FLAIR magnetic resonance.
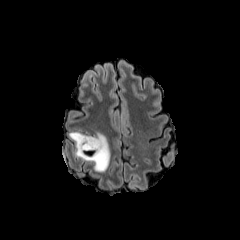
T1-weighted MR image.
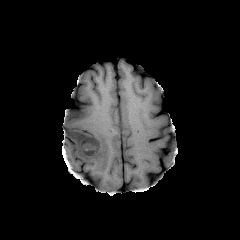
Post-contrast T1-weighted MR image.
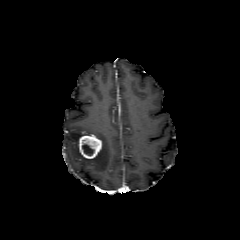
T2-weighted magnetic resonance.
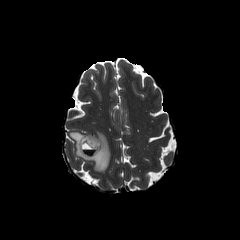
Head
necrotic tumor core: (left=82, top=144, right=93, bottom=155) | peritumoral edema: (left=69, top=131, right=110, bottom=171) | enhancing tumor: (left=79, top=135, right=102, bottom=158)